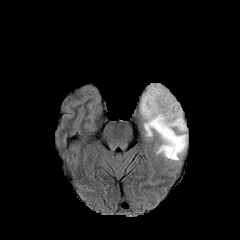
FLAIR MRI.
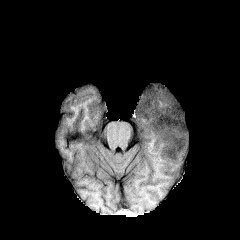
T1-weighted MR image.
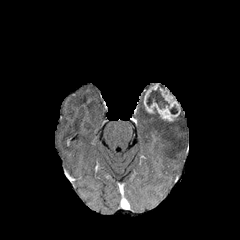
Post-contrast T1-weighted MR image.
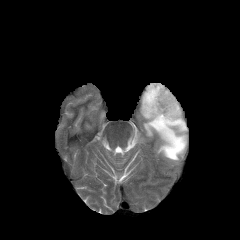
T2-weighted magnetic resonance of the same slice.
Head. 240x240.
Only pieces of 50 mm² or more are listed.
2 necrotic tumor core regions are located at bbox(147, 88, 169, 108); bbox(170, 105, 177, 114). The enhancing tumor is located at bbox(143, 83, 180, 121). The largest peritumoral edema region lies within bbox(140, 93, 187, 161).